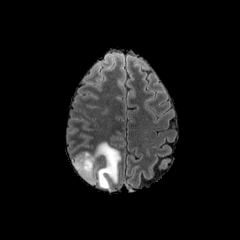
FLAIR magnetic resonance.
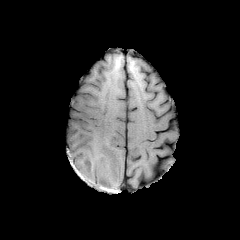
T1-weighted MR.
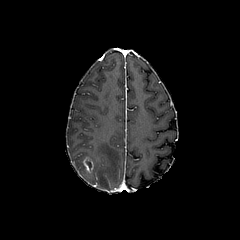
Post-contrast T1-weighted MR image.
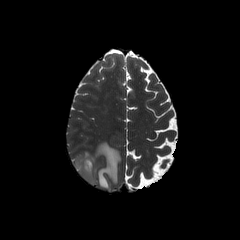
T2-weighted MR.
Image size 240x240 | Axial view
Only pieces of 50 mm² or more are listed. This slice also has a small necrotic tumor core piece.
Findings:
* enhancing tumor: 82, 156, 93, 174
* peritumoral edema: 73, 142, 120, 189